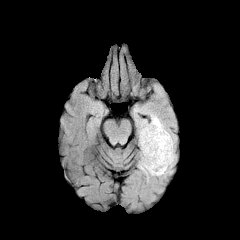
FLAIR MR.
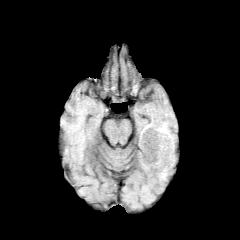
T1-weighted MR of the same slice.
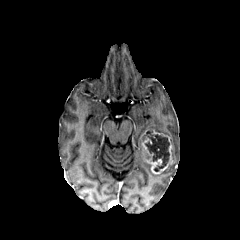
Post-contrast T1-weighted MR.
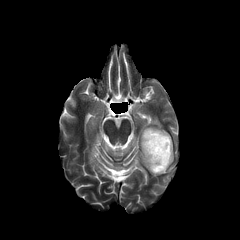
Same slice, T2-weighted magnetic resonance.
240x240 px, Axial view
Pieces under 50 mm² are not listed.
enhancing tumor: 142:129:172:174
peritumoral edema: 139:115:176:176
necrotic tumor core: 145:131:169:171